Image width 240 mm, Image size 240x240, Brain
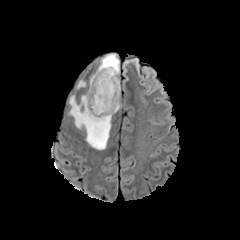
FLAIR MR image.
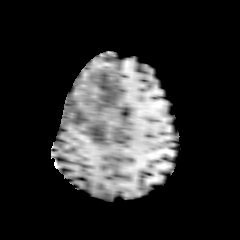
T1-weighted MR.
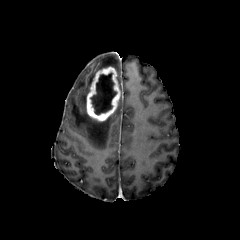
Post-contrast T1-weighted MRI.
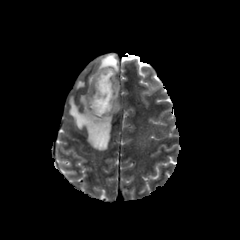
Same slice, T2-weighted MR.
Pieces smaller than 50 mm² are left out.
necrotic tumor core = x1=91, y1=73, x2=116, y2=114
enhancing tumor = x1=86, y1=66, x2=120, y2=121
peritumoral edema = x1=98, y1=53, x2=119, y2=73; x1=69, y1=95, x2=111, y2=149